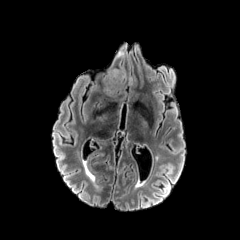
FLAIR MRI.
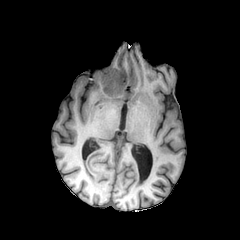
Same slice, T1-weighted MR image.
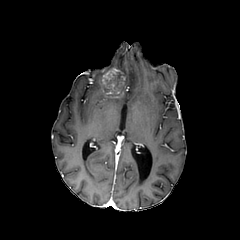
Post-contrast T1-weighted MR of the same slice.
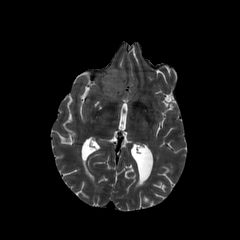
T2-weighted MR image of the same slice.
Brain, Axial view
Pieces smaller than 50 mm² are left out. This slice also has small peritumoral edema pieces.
necrotic tumor core: (left=113, top=72, right=122, bottom=86) | enhancing tumor: (left=101, top=68, right=125, bottom=94)